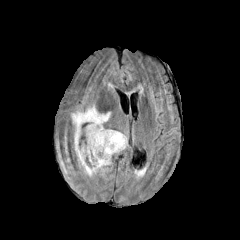
FLAIR MR image.
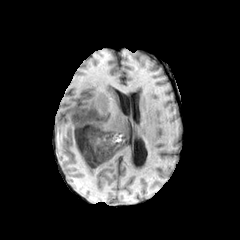
T1-weighted MR.
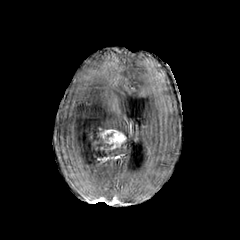
Same slice, post-contrast T1-weighted MR.
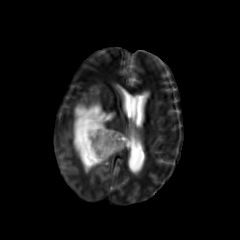
T2-weighted MRI of the same slice.
Brain | Axial slice
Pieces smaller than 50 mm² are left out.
peritumoral edema: 72 103 111 175 | necrotic tumor core: 84 137 112 164 | enhancing tumor: 94 154 112 164, 97 128 126 153